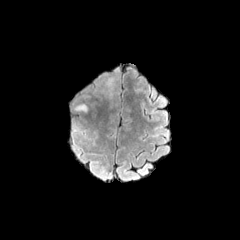
FLAIR MR.
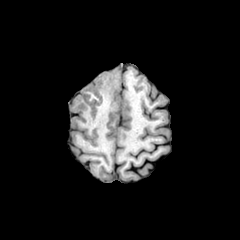
Same slice, T1-weighted magnetic resonance.
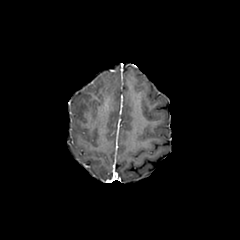
Same slice, post-contrast T1-weighted MR image.
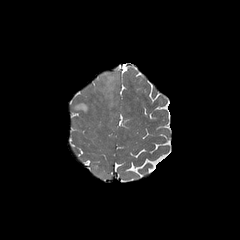
T2-weighted MR image of the same slice.
Image size 240x240, Head, Axial slice
• peritumoral edema: <bbox>75, 104, 87, 111</bbox>, <bbox>100, 70, 118, 98</bbox>